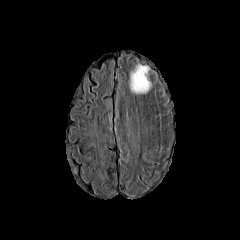
FLAIR MRI.
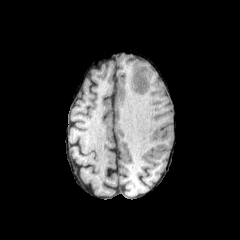
Same slice, T1-weighted MRI.
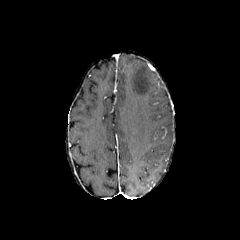
Post-contrast T1-weighted MR.
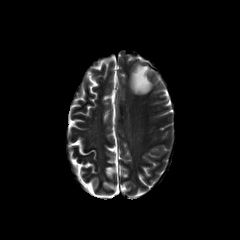
Same slice, T2-weighted MR image.
240x240. Axial slice. Brain.
peritumoral edema at [x1=130, y1=64, x2=151, y2=93]